240x240 px. Axial view. Head.
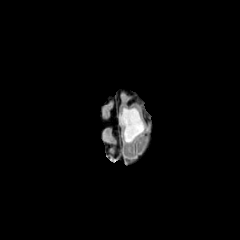
FLAIR magnetic resonance.
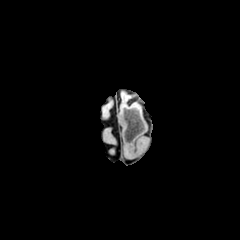
T1-weighted MR.
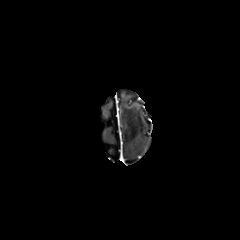
Post-contrast T1-weighted magnetic resonance.
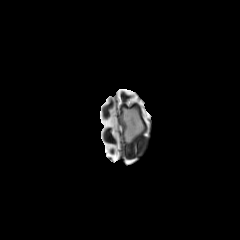
Same slice, T2-weighted MRI.
peritumoral edema: (119, 107, 145, 143)